Brain, Slice 76/155, 240x240
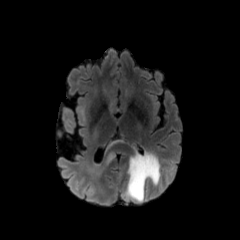
FLAIR MR image.
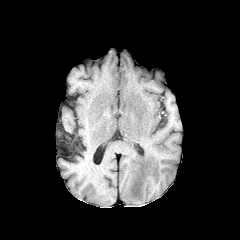
Same slice, T1-weighted MRI.
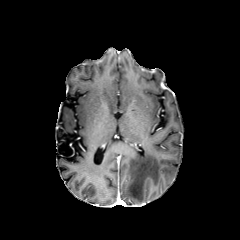
Post-contrast T1-weighted MR.
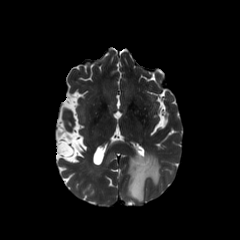
Same slice, T2-weighted magnetic resonance.
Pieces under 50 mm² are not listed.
peritumoral edema = [x1=107, y1=152, x2=115, y2=162], [x1=124, y1=152, x2=160, y2=202]